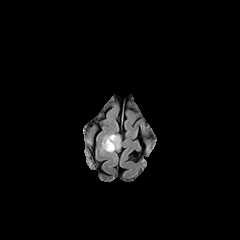
FLAIR MR.
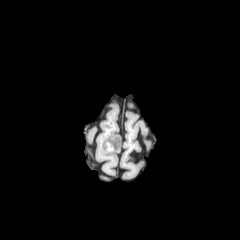
T1-weighted MRI.
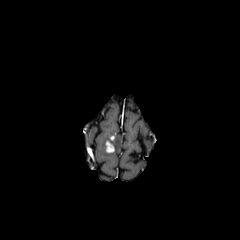
Post-contrast T1-weighted MRI.
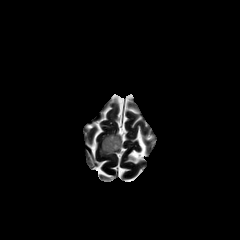
T2-weighted magnetic resonance of the same slice.
240x240. Axial view.
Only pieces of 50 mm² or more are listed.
Segmented structures:
• peritumoral edema: l=100, t=134, r=120, b=153
• enhancing tumor: l=106, t=140, r=114, b=152